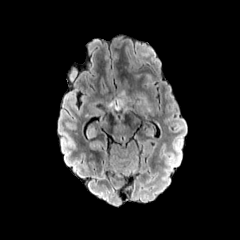
FLAIR MR image.
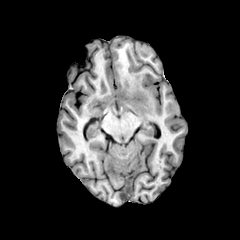
T1-weighted MR of the same slice.
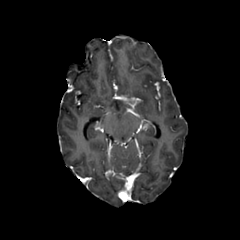
Post-contrast T1-weighted MR of the same slice.
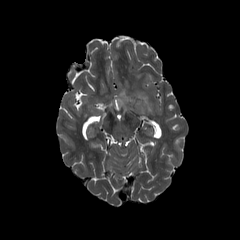
T2-weighted MR image of the same slice.
Head.
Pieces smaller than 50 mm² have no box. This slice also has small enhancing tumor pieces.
peritumoral edema at [135,92,151,111]